Slice index 86; 240x240; Brain; Image width 240 mm; Axial plane
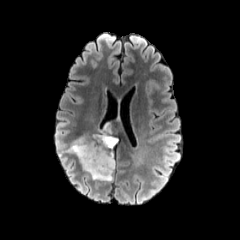
FLAIR MR image.
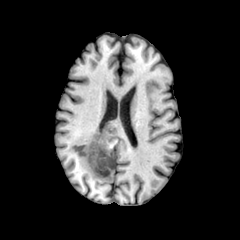
T1-weighted MR.
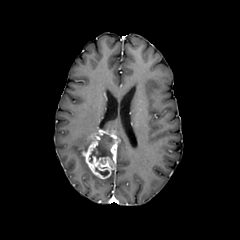
Post-contrast T1-weighted magnetic resonance.
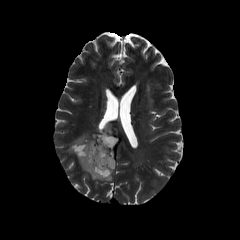
T2-weighted MR image.
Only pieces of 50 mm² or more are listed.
enhancing tumor: (x1=81, y1=125, x2=117, y2=179)
necrotic tumor core: (x1=95, y1=168, x2=109, y2=176), (x1=89, y1=134, x2=113, y2=162)
peritumoral edema: (x1=62, y1=137, x2=113, y2=180)